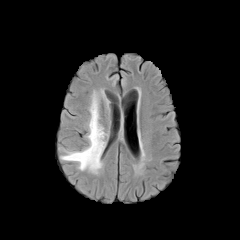
FLAIR MR image.
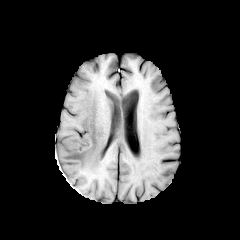
Same slice, T1-weighted MR.
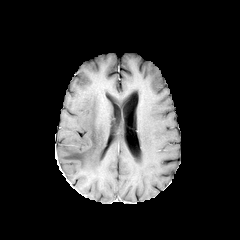
Post-contrast T1-weighted MR.
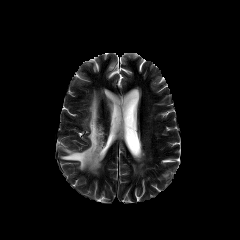
Same slice, T2-weighted MR image.
240x240; Head
The peritumoral edema is bounded by x1=60, y1=92, x2=105, y2=173.